FLAIR MR.
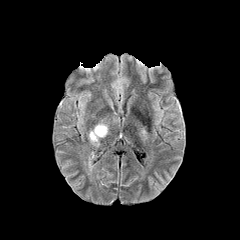
T1-weighted MRI.
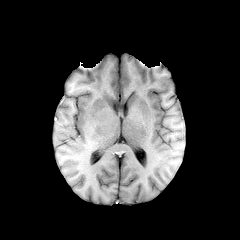
Post-contrast T1-weighted magnetic resonance.
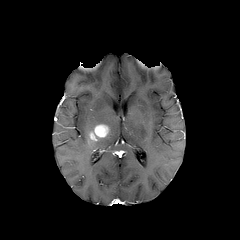
T2-weighted MR image.
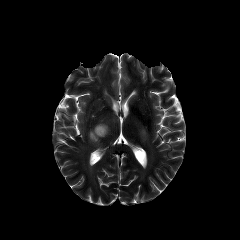
Brain, Axial view
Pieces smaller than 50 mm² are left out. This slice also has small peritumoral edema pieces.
enhancing tumor = bbox=[89, 124, 108, 140]